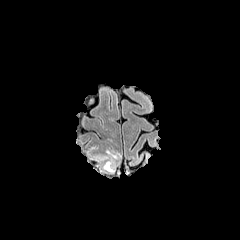
FLAIR MRI.
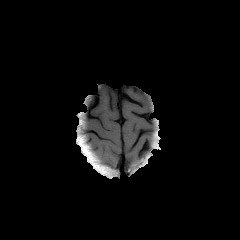
T1-weighted MRI.
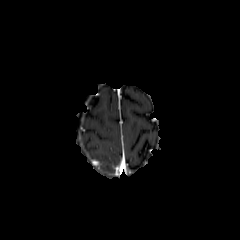
Post-contrast T1-weighted MRI.
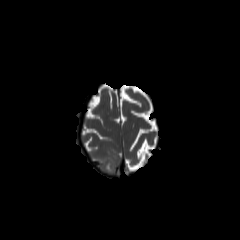
T2-weighted MRI.
Head
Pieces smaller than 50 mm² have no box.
Segmented structures:
* peritumoral edema: region(102, 161, 113, 172)